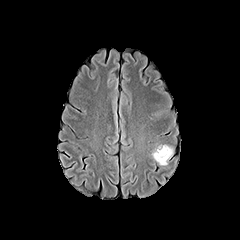
FLAIR magnetic resonance.
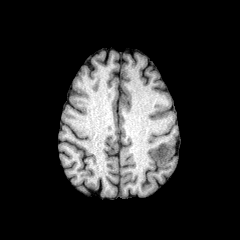
T1-weighted MRI.
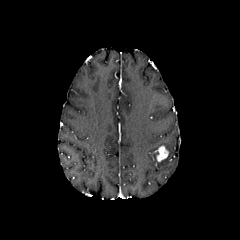
Post-contrast T1-weighted magnetic resonance of the same slice.
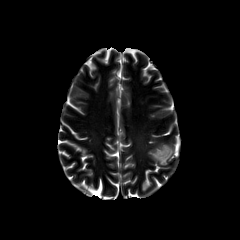
Same slice, T2-weighted MR image.
240x240 px; Axial view; Brain
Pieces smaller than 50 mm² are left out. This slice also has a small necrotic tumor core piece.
<segmentation>
  <enhancing_tumor>[155, 146, 168, 161]</enhancing_tumor>
  <peritumoral_edema>[159, 145, 173, 165]</peritumoral_edema>
</segmentation>